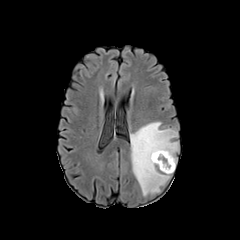
FLAIR MR image.
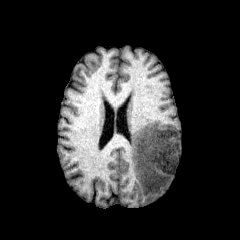
Same slice, T1-weighted MR image.
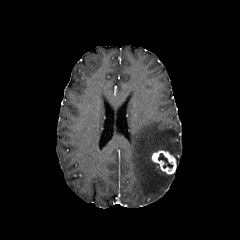
Post-contrast T1-weighted MRI of the same slice.
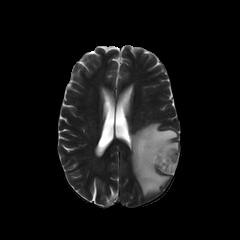
T2-weighted MRI.
Axial plane.
peritumoral edema: rect(130, 122, 178, 196) | necrotic tumor core: rect(158, 153, 172, 168) | enhancing tumor: rect(151, 150, 176, 174)